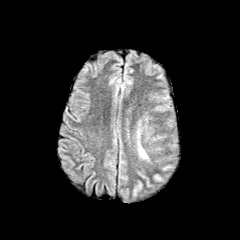
FLAIR MR.
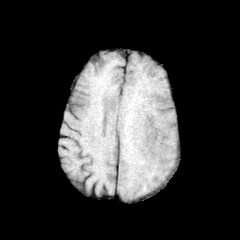
T1-weighted magnetic resonance.
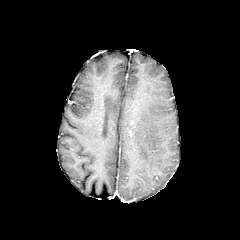
Post-contrast T1-weighted MR.
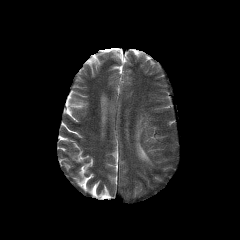
Same slice, T2-weighted MR.
240x240. Axial slice.
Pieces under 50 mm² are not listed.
peritumoral_edema:
  - 138:141:148:159